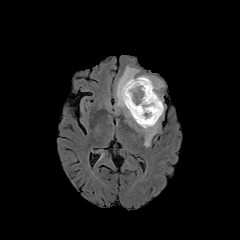
FLAIR MR.
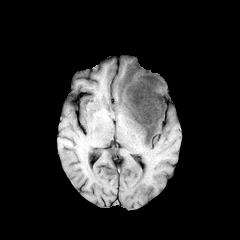
T1-weighted MRI.
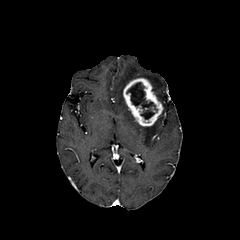
Post-contrast T1-weighted magnetic resonance.
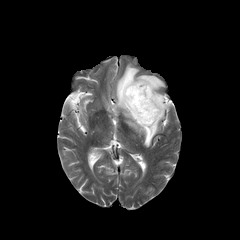
T2-weighted MRI.
Head
Findings:
• enhancing tumor: x1=123, y1=77, x2=163, y2=126
• peritumoral edema: x1=115, y1=65, x2=164, y2=146
• necrotic tumor core: x1=126, y1=82, x2=157, y2=119